Slice 99 of 155.
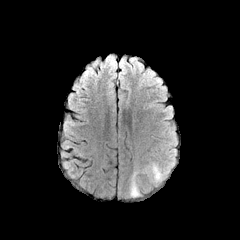
FLAIR MR.
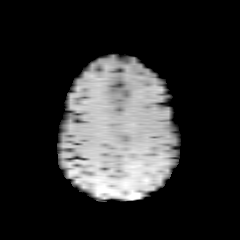
T1-weighted MRI of the same slice.
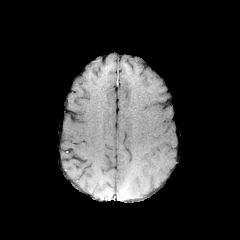
Post-contrast T1-weighted magnetic resonance.
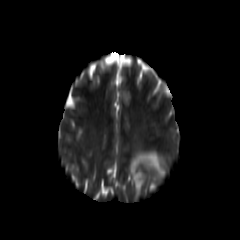
Same slice, T2-weighted magnetic resonance.
peritumoral_edema:
  - [131, 172, 139, 196]
  - [150, 161, 166, 181]